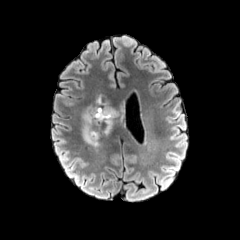
FLAIR MRI.
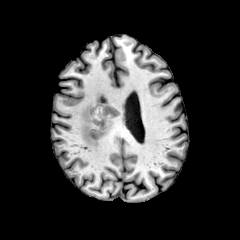
T1-weighted MR.
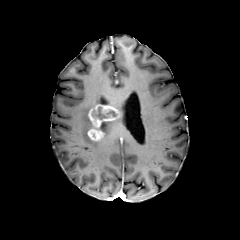
Post-contrast T1-weighted MR of the same slice.
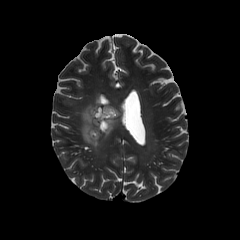
T2-weighted MR image of the same slice.
Head, Axial view
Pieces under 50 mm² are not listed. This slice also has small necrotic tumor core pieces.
{"peritumoral_edema": ["(82,98,109,146)", "(102,120,114,135)"], "enhancing_tumor": ["(87,105,119,141)"]}